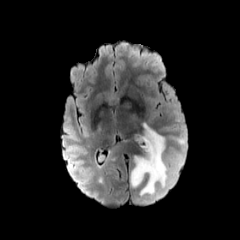
FLAIR magnetic resonance.
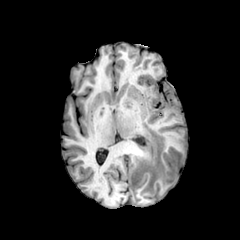
T1-weighted MRI of the same slice.
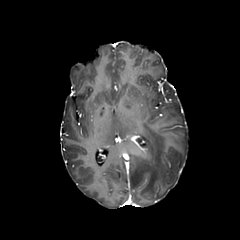
Post-contrast T1-weighted magnetic resonance.
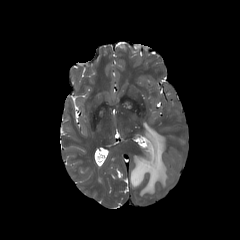
T2-weighted magnetic resonance.
Brain
<segmentation>
  <peritumoral_edema>box(130, 123, 168, 195)</peritumoral_edema>
</segmentation>